Axial slice | Head
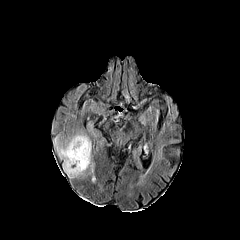
FLAIR MR.
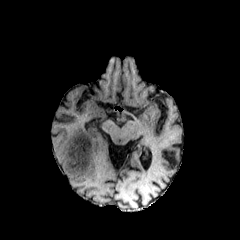
T1-weighted magnetic resonance.
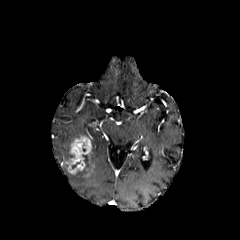
Same slice, post-contrast T1-weighted MR.
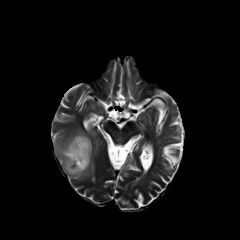
T2-weighted MR image.
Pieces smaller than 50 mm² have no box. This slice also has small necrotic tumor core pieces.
peritumoral edema: bounding box (55,132,94,178)
enhancing tumor: bounding box (69,136,90,174)